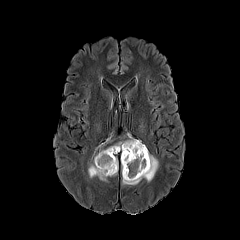
FLAIR MR image.
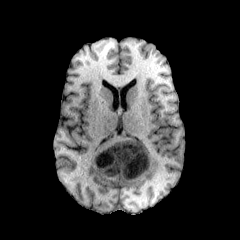
T1-weighted MR.
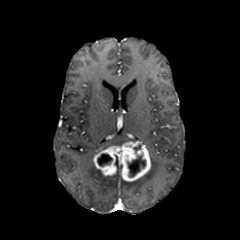
Post-contrast T1-weighted MR image.
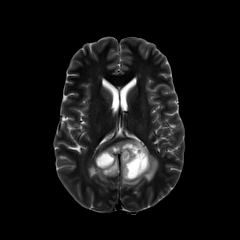
T2-weighted MR.
Axial view | Head
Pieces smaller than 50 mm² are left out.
necrotic tumor core: [97, 153, 112, 166], [127, 155, 145, 177] | peritumoral edema: [88, 156, 118, 181], [122, 153, 158, 185], [113, 138, 140, 145] | enhancing tumor: [93, 141, 150, 181]